FLAIR MR.
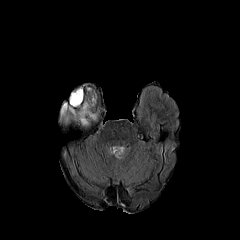
T1-weighted MR image.
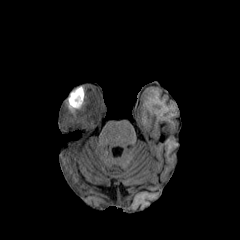
Post-contrast T1-weighted magnetic resonance.
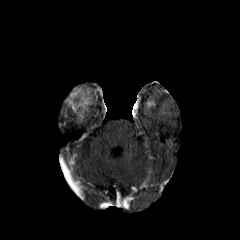
T2-weighted MRI.
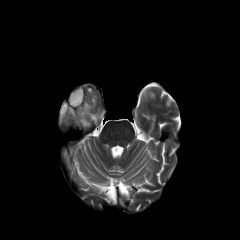
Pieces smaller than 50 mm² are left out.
Findings:
* peritumoral edema: 60, 113, 75, 120
* enhancing tumor: 61, 87, 97, 122
* necrotic tumor core: 70, 87, 82, 110